Head, Axial slice
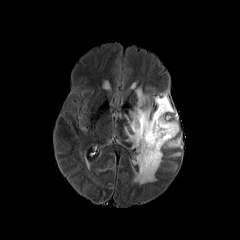
FLAIR magnetic resonance.
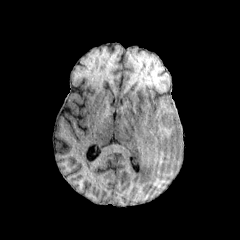
T1-weighted MR.
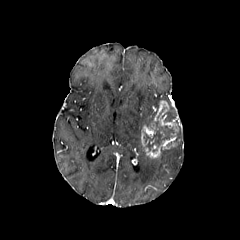
Post-contrast T1-weighted magnetic resonance of the same slice.
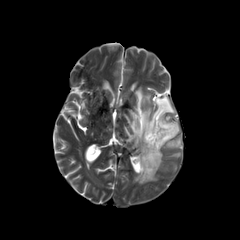
T2-weighted MR.
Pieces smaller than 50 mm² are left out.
The 2 largest peritumoral edema regions are bounded by x1=125, y1=88, x2=162, y2=183; x1=155, y1=95, x2=169, y2=108. The largest enhancing tumor region lies within x1=141, y1=100, x2=178, y2=158. The 2 largest necrotic tumor core regions appear at x1=143, y1=107, x2=174, y2=150; x1=162, y1=104, x2=176, y2=122.